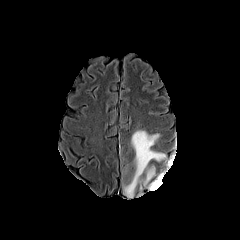
FLAIR magnetic resonance.
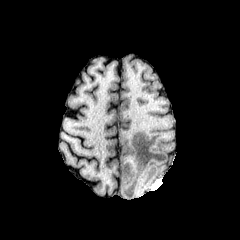
T1-weighted MR.
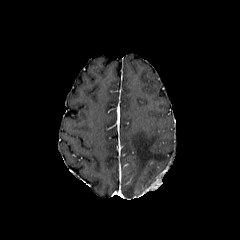
Post-contrast T1-weighted MR image.
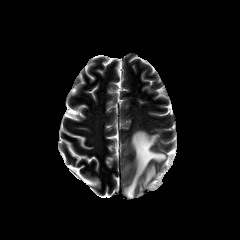
T2-weighted magnetic resonance of the same slice.
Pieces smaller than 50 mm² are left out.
<segmentation>
  <peritumoral_edema>(124,130,166,197), (144,166,155,184)</peritumoral_edema>
</segmentation>